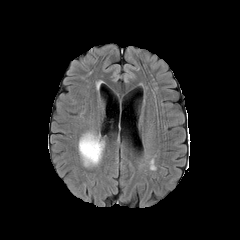
FLAIR MR image.
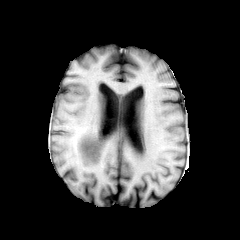
T1-weighted MRI.
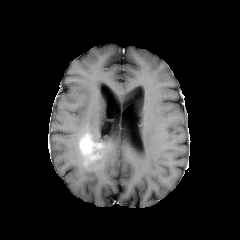
Same slice, post-contrast T1-weighted MR image.
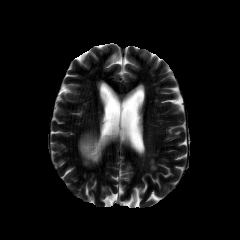
T2-weighted magnetic resonance.
240x240 px
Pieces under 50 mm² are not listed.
The enhancing tumor lies within [x1=79, y1=134, x2=104, y2=164]. The 2 largest peritumoral edema regions appear at [x1=81, y1=131, x2=105, y2=145], [x1=78, y1=143, x2=101, y2=166].